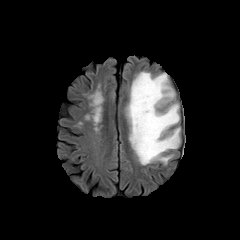
FLAIR MR.
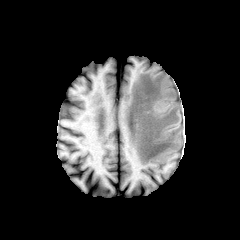
T1-weighted magnetic resonance of the same slice.
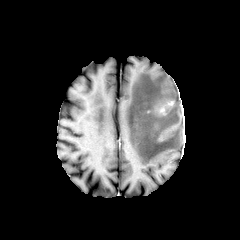
Post-contrast T1-weighted MR image.
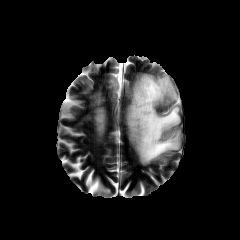
Same slice, T2-weighted MR.
Brain. Axial plane.
peritumoral_edema:
  - {"x1": 127, "y1": 72, "x2": 180, "y2": 165}